Slice 87 of 155. Brain.
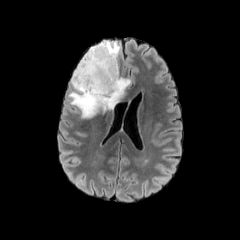
FLAIR magnetic resonance.
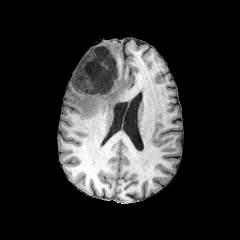
Same slice, T1-weighted MR image.
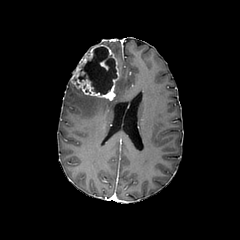
Post-contrast T1-weighted MR.
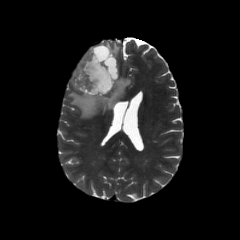
T2-weighted magnetic resonance.
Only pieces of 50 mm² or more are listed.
The largest enhancing tumor region appears at x1=71 y1=44 x2=119 y2=100. The largest necrotic tumor core region appears at x1=78 y1=46 x2=117 y2=94. The 2 largest peritumoral edema regions are bounded by x1=100 y1=41 x2=120 y2=58, x1=69 y1=76 x2=130 y2=118.